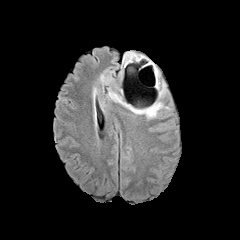
FLAIR MRI.
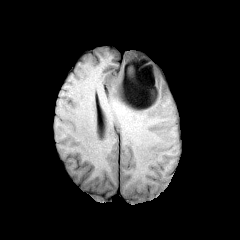
T1-weighted MRI.
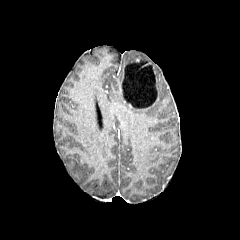
Post-contrast T1-weighted MRI.
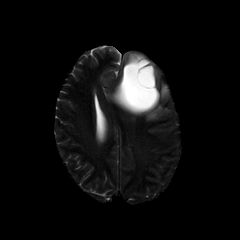
T2-weighted MRI of the same slice.
Axial slice; 240x240
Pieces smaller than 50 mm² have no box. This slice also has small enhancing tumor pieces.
The 3 largest peritumoral edema regions are located at box(159, 85, 166, 97); box(109, 92, 162, 119); box(125, 52, 136, 64). The necrotic tumor core lies within box(122, 59, 158, 108).